FLAIR MR.
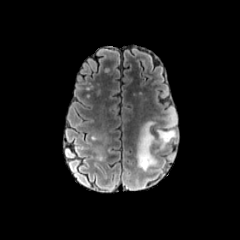
T1-weighted MR.
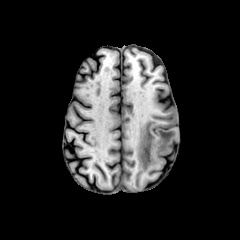
Post-contrast T1-weighted MR image.
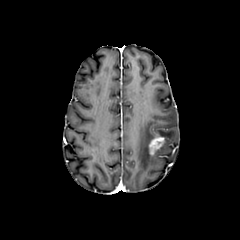
T2-weighted MRI.
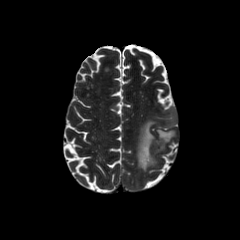
Head, Axial plane
enhancing tumor = x1=148, y1=136, x2=167, y2=155
peritumoral edema = x1=136, y1=107, x2=177, y2=170